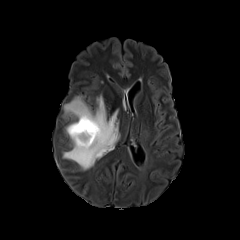
FLAIR magnetic resonance.
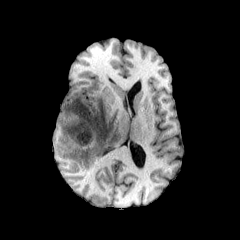
T1-weighted MR image.
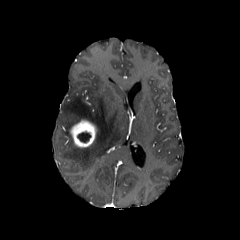
Post-contrast T1-weighted MR.
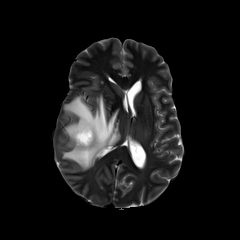
Same slice, T2-weighted MRI.
Axial view | Brain
The enhancing tumor lies within box=[70, 119, 97, 147]. The peritumoral edema is bounded by box=[63, 95, 120, 170]. The necrotic tumor core is located at box=[77, 132, 90, 142].